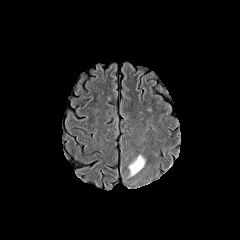
FLAIR magnetic resonance.
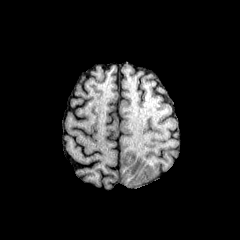
T1-weighted MR image of the same slice.
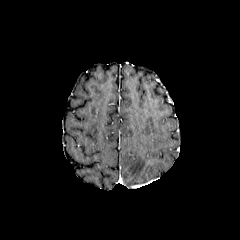
Same slice, post-contrast T1-weighted magnetic resonance.
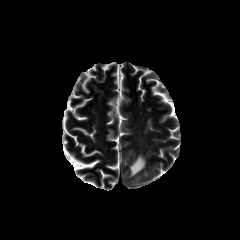
Same slice, T2-weighted MR.
Axial view | Brain
The peritumoral edema is at {"x1": 129, "y1": 155, "x2": 145, "y2": 177}.